240x240; Axial slice
FLAIR MR image.
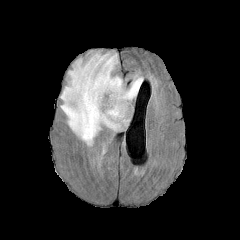
T1-weighted MRI.
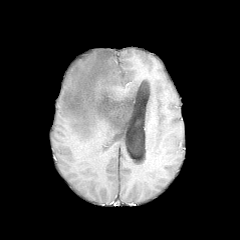
Post-contrast T1-weighted MR.
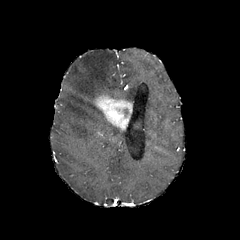
T2-weighted magnetic resonance.
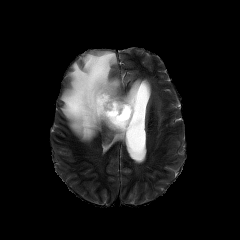
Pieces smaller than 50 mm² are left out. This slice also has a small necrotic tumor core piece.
The largest peritumoral edema region is bounded by [60,51,142,145]. The enhancing tumor is at [93,92,132,130].